FLAIR magnetic resonance.
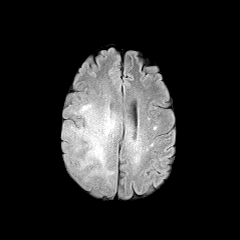
T1-weighted MRI.
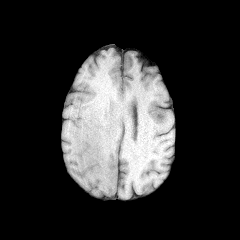
Post-contrast T1-weighted MR.
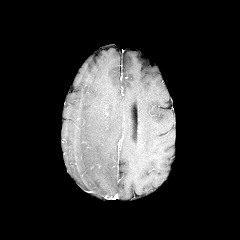
T2-weighted MRI.
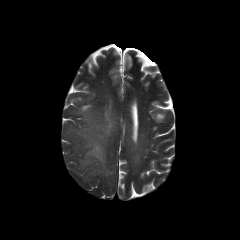
240x240
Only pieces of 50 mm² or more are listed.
Segmented structures:
* peritumoral edema: rect(68, 103, 120, 180)